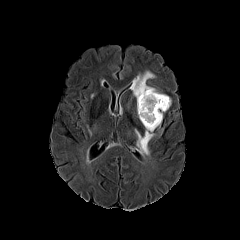
FLAIR magnetic resonance.
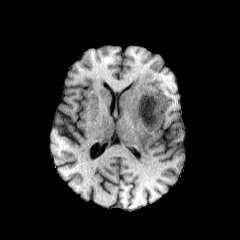
T1-weighted MR image.
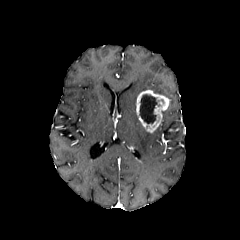
Post-contrast T1-weighted MR of the same slice.
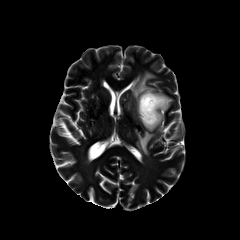
T2-weighted MR image of the same slice.
Brain.
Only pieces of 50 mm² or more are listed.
{"necrotic_tumor_core": ["box(140, 94, 157, 123)"], "enhancing_tumor": ["box(136, 89, 170, 132)"], "peritumoral_edema": ["box(130, 71, 158, 98)", "box(135, 129, 154, 155)"]}